Brain
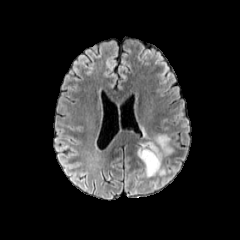
FLAIR magnetic resonance.
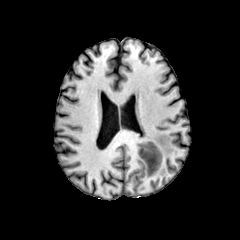
T1-weighted MR.
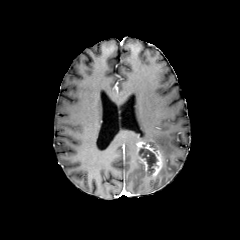
Same slice, post-contrast T1-weighted magnetic resonance.
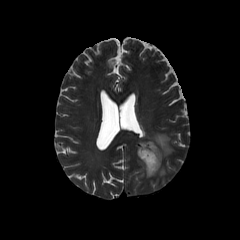
T2-weighted MRI.
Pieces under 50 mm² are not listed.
The largest enhancing tumor region lies within {"x1": 137, "y1": 142, "x2": 163, "y2": 177}. The necrotic tumor core is at {"x1": 140, "y1": 145, "x2": 157, "y2": 172}. The largest peritumoral edema region is located at {"x1": 146, "y1": 134, "x2": 173, "y2": 156}.